FLAIR magnetic resonance.
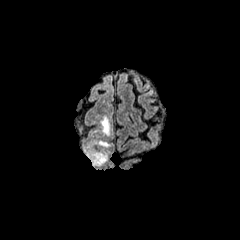
T1-weighted MR.
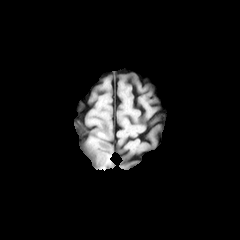
Post-contrast T1-weighted MRI.
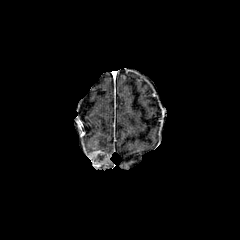
T2-weighted magnetic resonance.
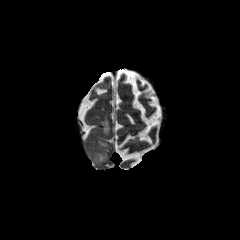
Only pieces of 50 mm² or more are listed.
enhancing_tumor:
  - l=82, t=141, r=108, b=167
peritumoral_edema:
  - l=97, t=140, r=110, b=147
  - l=101, t=116, r=110, b=135
necrotic_tumor_core:
  - l=95, t=154, r=106, b=162